FLAIR MR image.
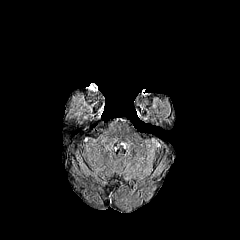
T1-weighted MR image.
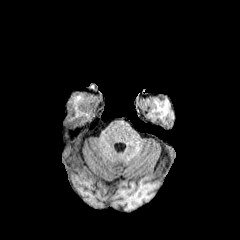
Post-contrast T1-weighted MR.
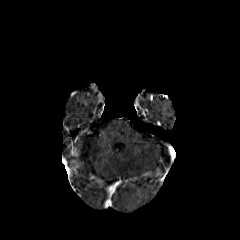
T2-weighted MRI.
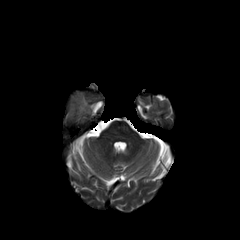
Image size 240x240
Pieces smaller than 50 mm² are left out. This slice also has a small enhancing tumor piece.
peritumoral_edema:
  - (left=71, top=94, right=94, bottom=111)